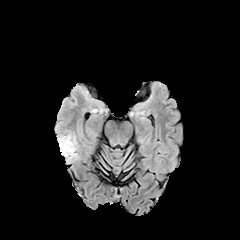
FLAIR MRI.
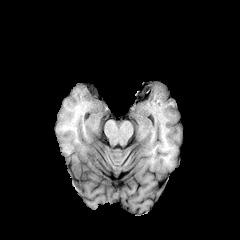
T1-weighted MRI.
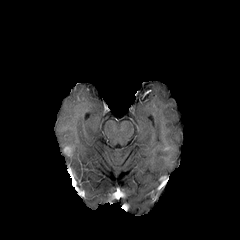
Same slice, post-contrast T1-weighted magnetic resonance.
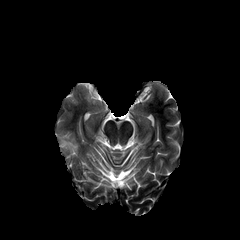
T2-weighted MRI.
Brain.
The enhancing tumor is bounded by box=[63, 146, 72, 155]. The peritumoral edema is bounded by box=[58, 135, 78, 162].